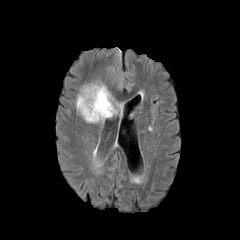
FLAIR MRI.
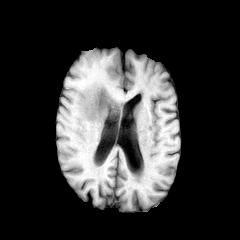
T1-weighted magnetic resonance.
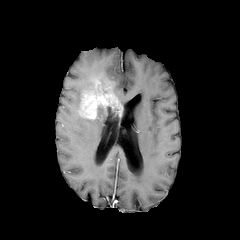
Post-contrast T1-weighted magnetic resonance of the same slice.
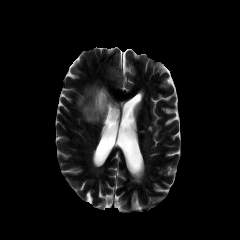
T2-weighted MR image.
Head, 240x240 px
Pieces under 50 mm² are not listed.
enhancing tumor: bounding box [x1=79, y1=80, x2=122, y2=119]
peritumoral edema: bounding box [x1=76, y1=94, x2=81, y2=110], [x1=84, y1=106, x2=118, y2=123], [x1=82, y1=84, x2=94, y2=92]